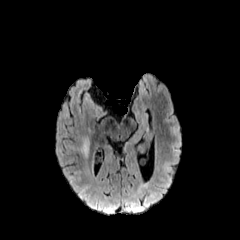
FLAIR MR image.
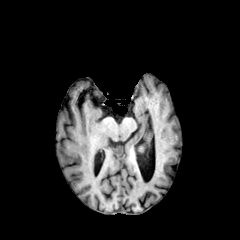
T1-weighted MR of the same slice.
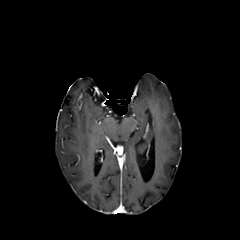
Same slice, post-contrast T1-weighted MRI.
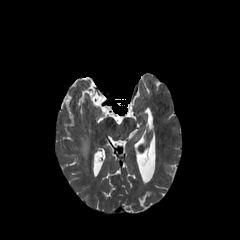
T2-weighted MR of the same slice.
Axial plane
{
  "peritumoral_edema": [
    "77, 138, 89, 157"
  ]
}